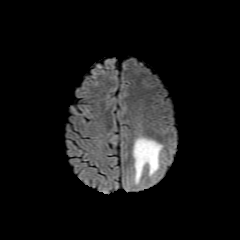
FLAIR MRI.
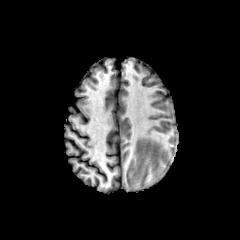
T1-weighted MR image.
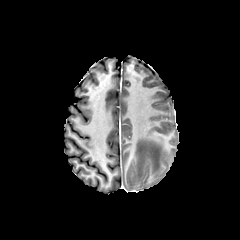
Post-contrast T1-weighted MR image.
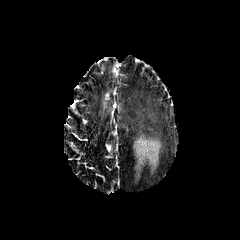
Same slice, T2-weighted MRI.
Head. Axial plane.
The peritumoral edema is bounded by (left=133, top=136, right=162, bottom=183).